Image size 240x240
FLAIR MR image.
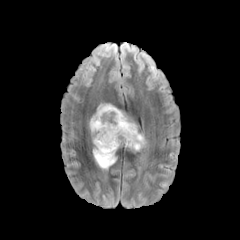
T1-weighted MR image.
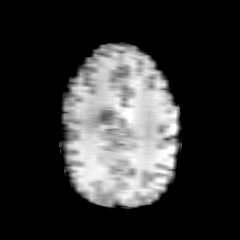
Post-contrast T1-weighted magnetic resonance.
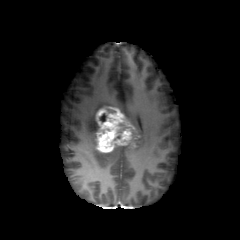
T2-weighted MR image.
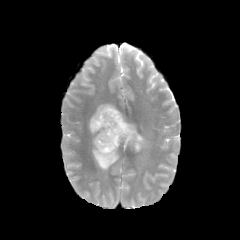
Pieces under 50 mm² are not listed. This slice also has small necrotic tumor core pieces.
enhancing tumor — bbox(96, 106, 138, 152)
peritumoral edema — bbox(97, 103, 114, 111); bbox(125, 122, 146, 151); bbox(89, 112, 118, 170)